FLAIR MR image.
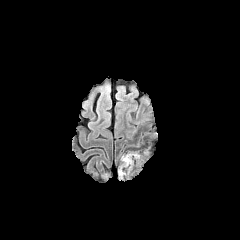
T1-weighted MRI.
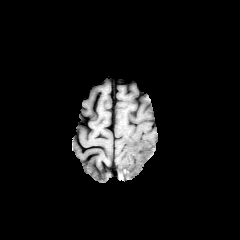
Post-contrast T1-weighted MR image.
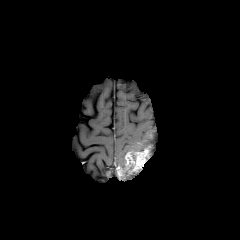
T2-weighted magnetic resonance.
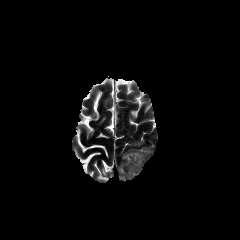
Brain; Image size 240x240; Axial slice
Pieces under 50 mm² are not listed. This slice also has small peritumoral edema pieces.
enhancing tumor — rect(123, 146, 150, 174)